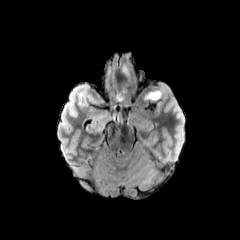
FLAIR MR image.
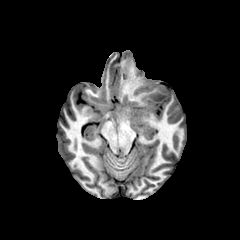
T1-weighted MR image.
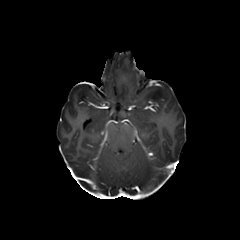
Post-contrast T1-weighted MR of the same slice.
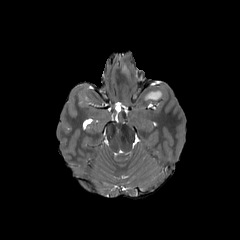
T2-weighted MRI.
240x240 px. Brain.
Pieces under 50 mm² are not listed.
The largest peritumoral edema region is located at x1=144, y1=90, x2=162, y2=100.